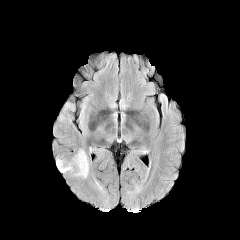
FLAIR MR image.
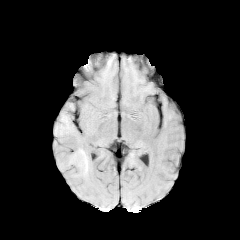
T1-weighted magnetic resonance of the same slice.
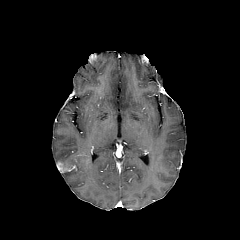
Same slice, post-contrast T1-weighted MR image.
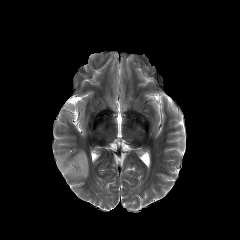
T2-weighted MR.
Axial view
The enhancing tumor is at (x1=56, y1=162, x2=71, y2=172). The peritumoral edema is located at (x1=56, y1=149, x2=89, y2=178).